Head, 240x240 px, Axial slice, Image width 240 mm
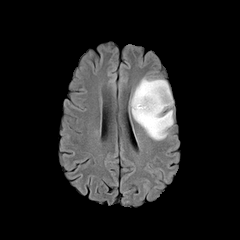
FLAIR MR image.
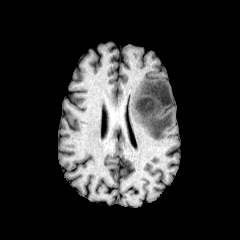
T1-weighted MR.
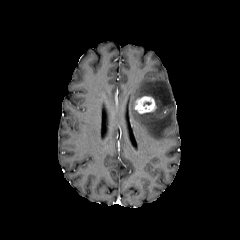
Same slice, post-contrast T1-weighted MR.
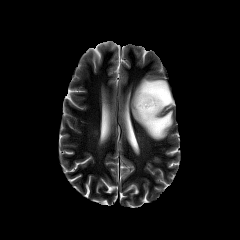
T2-weighted MR of the same slice.
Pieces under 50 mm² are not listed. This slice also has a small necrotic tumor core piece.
peritumoral edema: 130:77:173:140
enhancing tumor: 134:96:156:113